Slice 73/155. Head. Image width 240 mm, 1.00 mm slice spacing.
FLAIR MR.
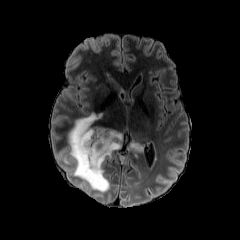
T1-weighted MR image.
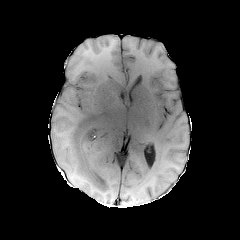
Post-contrast T1-weighted MR image.
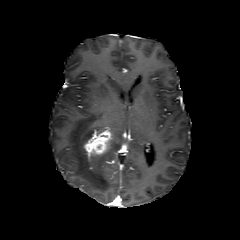
T2-weighted MRI.
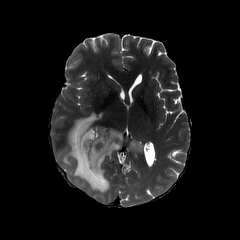
peritumoral edema: bbox(129, 141, 141, 150); bbox(63, 113, 122, 192) | enhancing tumor: bbox(83, 128, 112, 157)